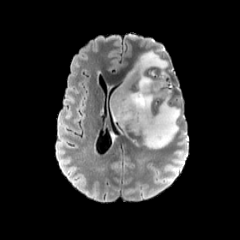
FLAIR MRI.
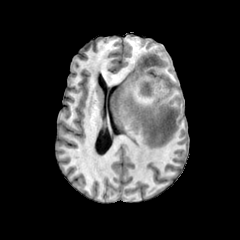
Same slice, T1-weighted MR.
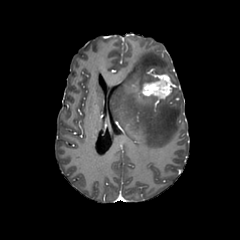
Post-contrast T1-weighted MR.
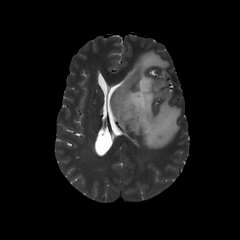
T2-weighted MR.
Axial view | Image size 240x240
peritumoral edema: bounding box 110:50:180:148
enhancing tumor: bounding box 140:74:173:99